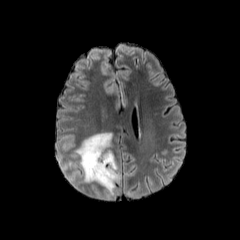
FLAIR MRI.
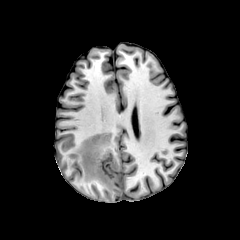
Same slice, T1-weighted MRI.
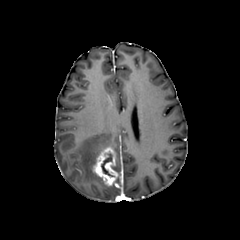
Post-contrast T1-weighted magnetic resonance.
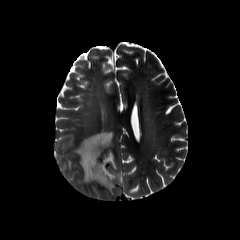
T2-weighted MRI.
Axial plane.
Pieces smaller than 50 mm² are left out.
* enhancing tumor: {"x1": 92, "y1": 147, "x2": 121, "y2": 186}
* necrotic tumor core: {"x1": 101, "y1": 154, "x2": 113, "y2": 176}
* peritumoral edema: {"x1": 75, "y1": 133, "x2": 115, "y2": 195}